FLAIR MRI.
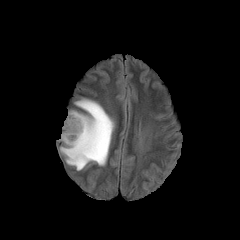
T1-weighted MRI.
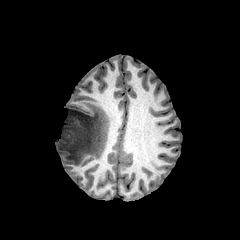
Post-contrast T1-weighted MR image.
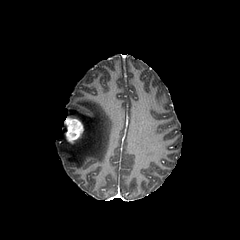
T2-weighted MRI.
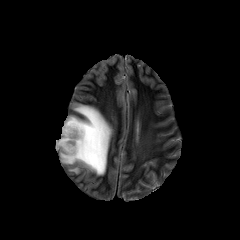
Axial slice; Head
{"peritumoral_edema": ["59, 99, 114, 170"], "enhancing_tumor": ["64, 117, 83, 143"]}